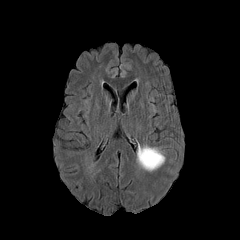
FLAIR MR image.
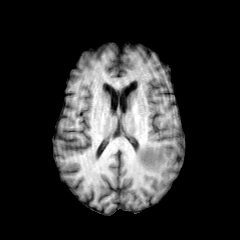
T1-weighted MR.
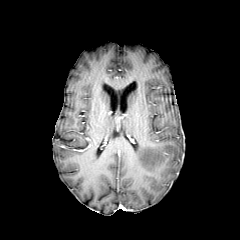
Post-contrast T1-weighted MR image.
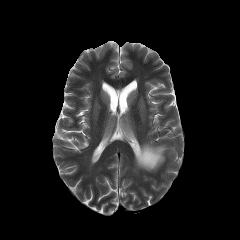
T2-weighted MR.
240x240; Head; Axial plane
The peritumoral edema is located at left=136, top=145, right=165, bottom=171.